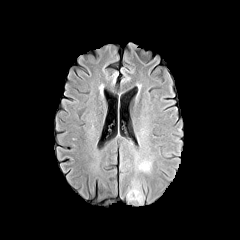
FLAIR magnetic resonance.
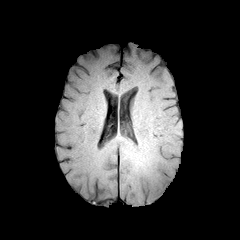
T1-weighted magnetic resonance.
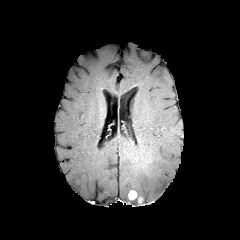
Post-contrast T1-weighted MRI of the same slice.
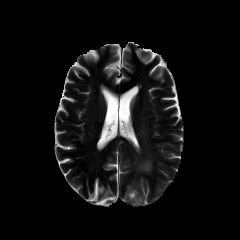
T2-weighted MR image of the same slice.
Image size 240x240 | Brain
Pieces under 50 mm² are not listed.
enhancing tumor at bbox=[128, 190, 136, 199]
peritumoral edema at bbox=[127, 188, 142, 202]; bbox=[140, 162, 150, 170]